Image size 240x240. Image covers 240 mm x 240 mm.
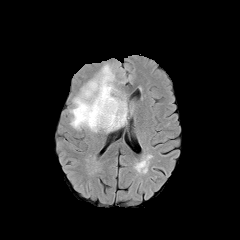
FLAIR magnetic resonance.
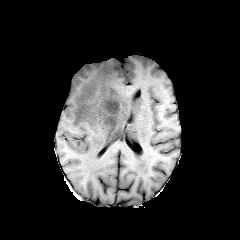
T1-weighted MRI.
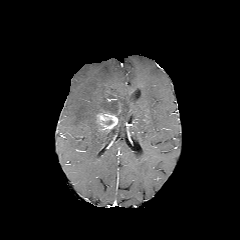
Post-contrast T1-weighted magnetic resonance.
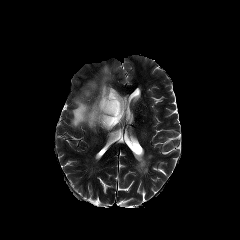
Same slice, T2-weighted MR image.
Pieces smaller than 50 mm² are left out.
Annotated regions:
- necrotic tumor core: [109, 100, 118, 114]
- enhancing tumor: [96, 98, 120, 130]
- peritumoral edema: [70, 64, 128, 132]